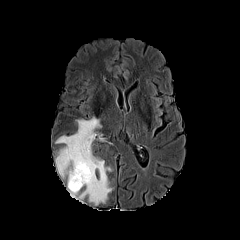
FLAIR MRI.
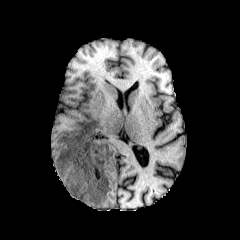
Same slice, T1-weighted MR.
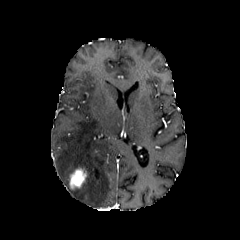
Post-contrast T1-weighted magnetic resonance of the same slice.
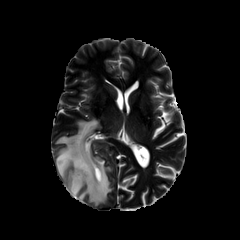
Same slice, T2-weighted MRI.
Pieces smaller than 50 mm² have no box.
<segmentation>
  <peritumoral_edema>(left=55, top=117, right=112, bottom=205)</peritumoral_edema>
  <enhancing_tumor>(left=69, top=167, right=87, bottom=189)</enhancing_tumor>
</segmentation>